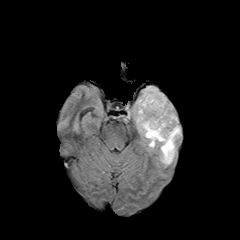
FLAIR MR image.
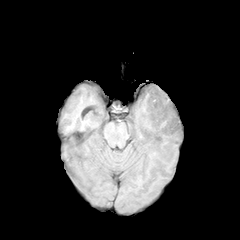
T1-weighted MR image of the same slice.
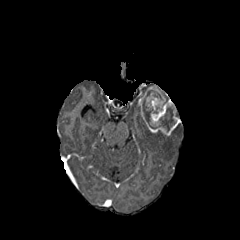
Same slice, post-contrast T1-weighted MR.
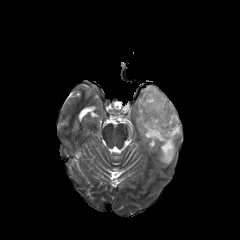
T2-weighted MR.
Image size 240x240; Head; Axial slice
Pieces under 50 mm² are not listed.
Findings:
• enhancing tumor: bbox=[138, 86, 180, 135]
• necrotic tumor core: bbox=[158, 107, 175, 131]; bbox=[143, 100, 157, 128]
• peritumoral edema: bbox=[133, 99, 181, 165]